Axial plane | Image size 240x240
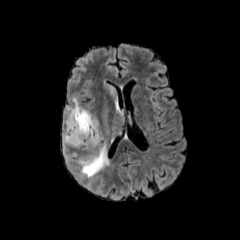
FLAIR magnetic resonance.
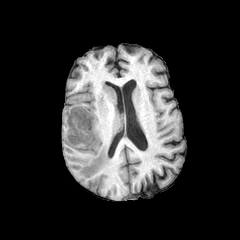
T1-weighted MRI of the same slice.
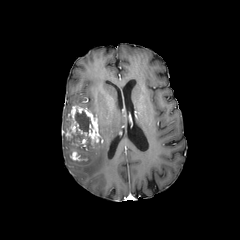
Post-contrast T1-weighted MR image.
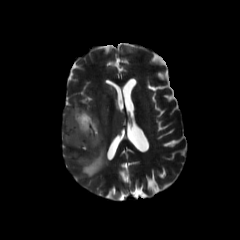
Same slice, T2-weighted magnetic resonance.
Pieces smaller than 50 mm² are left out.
enhancing tumor: bounding box bbox(62, 106, 102, 161)
necrotic tumor core: bounding box bbox(75, 110, 92, 134); bbox(72, 125, 85, 142)
peritumoral edema: bounding box bbox(64, 106, 71, 124); bbox(62, 136, 69, 160); bbox(77, 79, 123, 177)